FLAIR MRI.
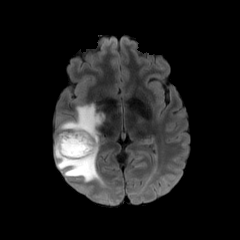
T1-weighted magnetic resonance.
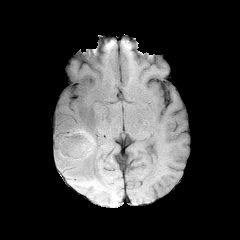
Post-contrast T1-weighted MR image.
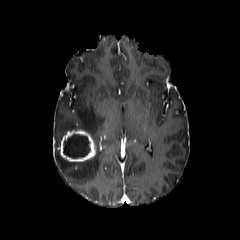
T2-weighted MR.
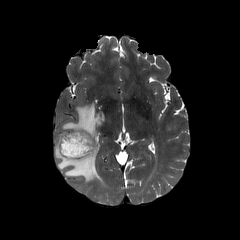
240x240. Axial plane.
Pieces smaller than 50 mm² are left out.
<segmentation>
  <enhancing_tumor>bbox=[59, 130, 96, 162]</enhancing_tumor>
  <necrotic_tumor_core>bbox=[64, 134, 90, 158]</necrotic_tumor_core>
  <peritumoral_edema>bbox=[54, 103, 104, 182]</peritumoral_edema>
</segmentation>